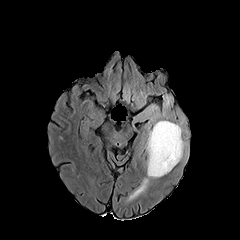
FLAIR MRI.
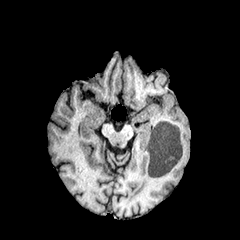
T1-weighted MR of the same slice.
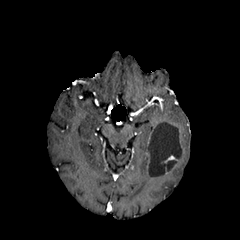
Post-contrast T1-weighted MRI.
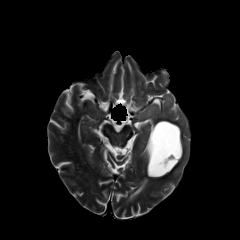
T2-weighted magnetic resonance.
Image size 240x240, Brain
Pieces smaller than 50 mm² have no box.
enhancing_tumor:
  - region(164, 155, 178, 163)
necrotic_tumor_core:
  - region(148, 122, 181, 175)
peritumoral_edema:
  - region(145, 120, 169, 177)
  - region(140, 179, 148, 189)
  - region(164, 96, 170, 107)
  - region(168, 124, 186, 172)
  - region(145, 105, 165, 120)